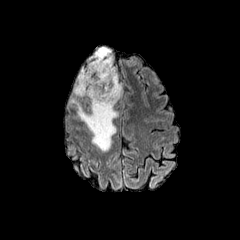
FLAIR MRI.
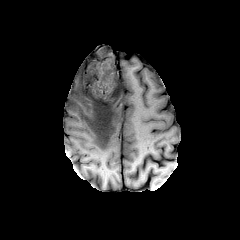
T1-weighted MR image of the same slice.
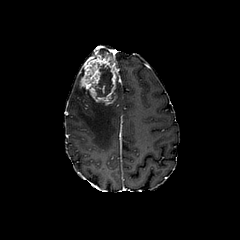
Same slice, post-contrast T1-weighted MRI.
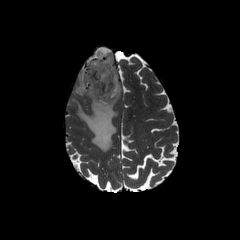
T2-weighted MR image.
240x240; Brain
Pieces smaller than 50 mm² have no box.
enhancing tumor at <bbox>80, 51, 118, 105</bbox>
necrotic tumor core at <bbox>94, 64, 112, 96</bbox>
peritumoral edema at <bbox>70, 66, 122, 151</bbox>, <bbox>87, 45, 112, 62</bbox>